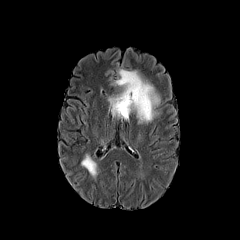
FLAIR MR.
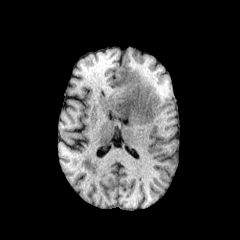
T1-weighted magnetic resonance of the same slice.
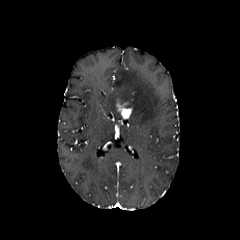
Post-contrast T1-weighted MR of the same slice.
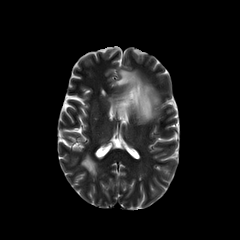
T2-weighted MR of the same slice.
Axial slice; Brain; 240x240
Findings:
* peritumoral edema: bbox=[107, 69, 160, 125]; bbox=[81, 153, 98, 179]
* enhancing tumor: bbox=[116, 101, 132, 119]